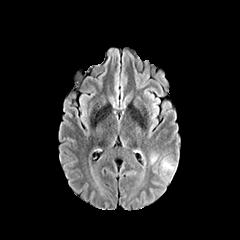
FLAIR MR image.
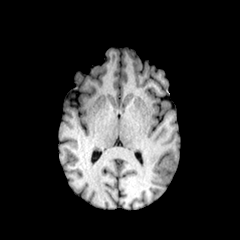
T1-weighted MR of the same slice.
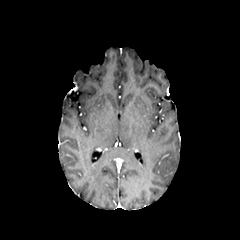
Same slice, post-contrast T1-weighted MR.
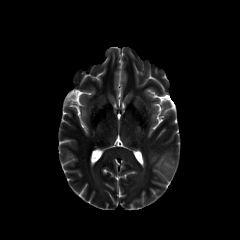
T2-weighted MR.
Head. Axial slice.
peritumoral edema at x1=160, y1=159, x2=173, y2=173; x1=150, y1=154, x2=157, y2=163